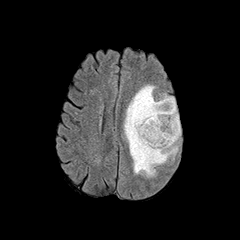
FLAIR magnetic resonance.
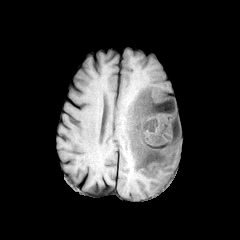
T1-weighted MR image.
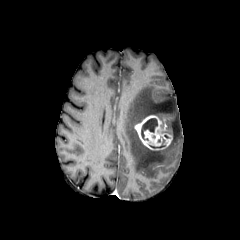
Post-contrast T1-weighted MR image of the same slice.
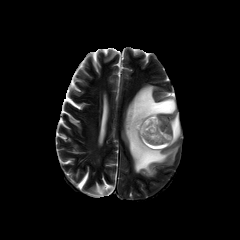
T2-weighted MR image.
Axial plane, 240x240, Brain
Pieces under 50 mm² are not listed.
The peritumoral edema is at rect(124, 84, 180, 177). The enhancing tumor is bounded by rect(134, 115, 172, 150). The largest necrotic tumor core region is at rect(141, 118, 157, 138).